FLAIR MR image.
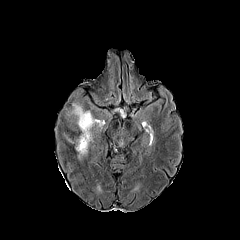
T1-weighted MR.
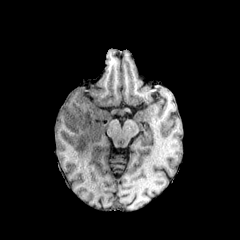
Post-contrast T1-weighted magnetic resonance.
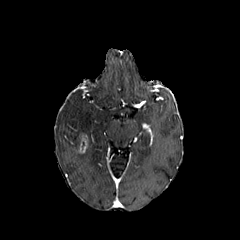
T2-weighted MRI.
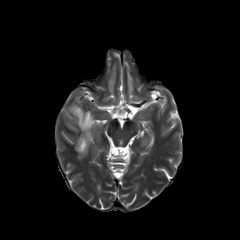
Head.
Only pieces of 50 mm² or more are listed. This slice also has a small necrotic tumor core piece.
peritumoral edema = 69, 136, 79, 151; 70, 103, 99, 159
enhancing tumor = 77, 133, 88, 153